Image covers 240 mm x 240 mm; Head; Slice 120 of 155; Axial slice
FLAIR MR.
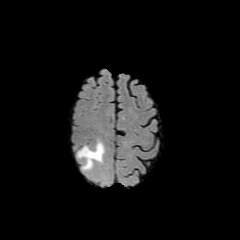
T1-weighted MRI.
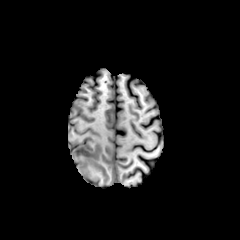
Post-contrast T1-weighted MR image.
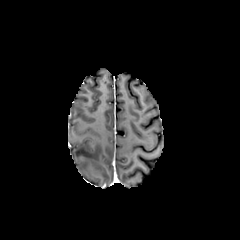
T2-weighted MR image.
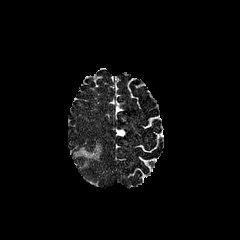
The peritumoral edema is at rect(77, 142, 104, 169).